240x240 | Axial plane | Slice 109 of 155
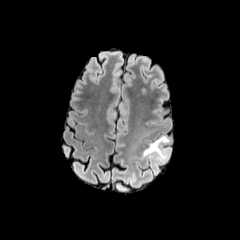
FLAIR MR image.
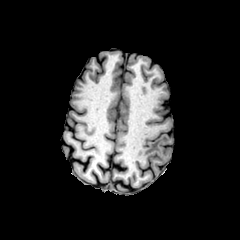
Same slice, T1-weighted MR image.
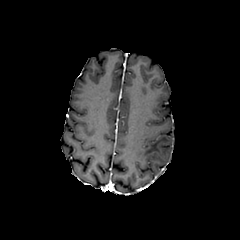
Post-contrast T1-weighted magnetic resonance.
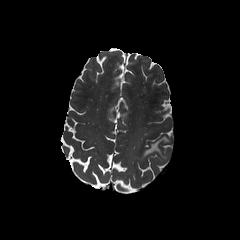
T2-weighted MR.
peritumoral edema — box(143, 136, 169, 159)